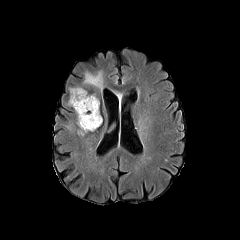
FLAIR MRI.
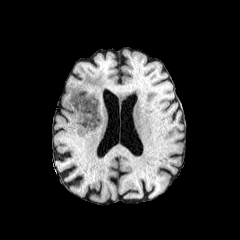
T1-weighted MR image of the same slice.
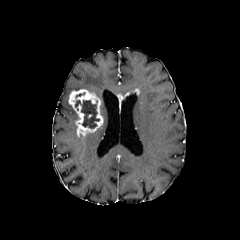
Post-contrast T1-weighted MR image of the same slice.
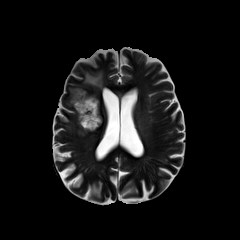
Same slice, T2-weighted MR image.
Brain.
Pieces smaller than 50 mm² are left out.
{
  "enhancing_tumor": [
    "rect(117, 93, 129, 112)",
    "rect(68, 89, 103, 136)"
  ],
  "necrotic_tumor_core": [
    "rect(75, 100, 99, 128)"
  ],
  "peritumoral_edema": [
    "rect(83, 72, 103, 90)"
  ]
}